FLAIR MR image.
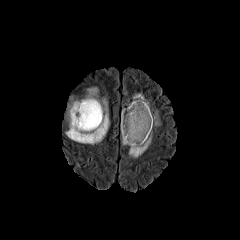
T1-weighted magnetic resonance.
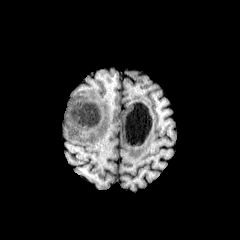
Post-contrast T1-weighted MR image.
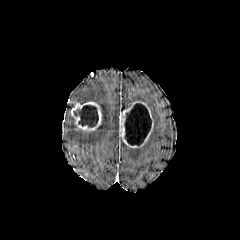
T2-weighted magnetic resonance.
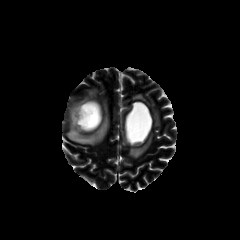
240x240 px
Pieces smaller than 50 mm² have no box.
peritumoral edema: bounding box <box>66,88,109,144</box>, <box>129,133,152,158</box>, <box>152,111,159,125</box>, <box>132,93,149,107</box>
necrotic tumor core: bounding box <box>74,105,98,127</box>, <box>124,103,151,145</box>
enhancing tumor: bounding box <box>120,101,153,148</box>, <box>69,101,101,131</box>